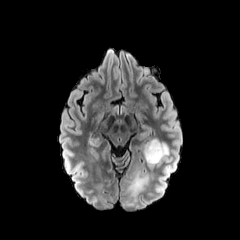
FLAIR MRI.
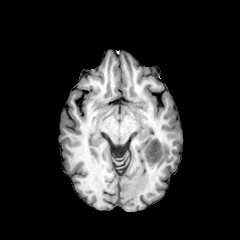
Same slice, T1-weighted magnetic resonance.
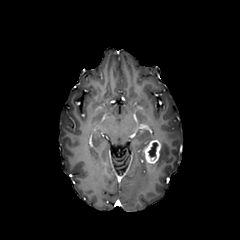
Post-contrast T1-weighted MRI of the same slice.
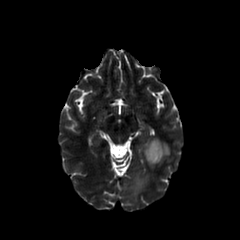
T2-weighted magnetic resonance of the same slice.
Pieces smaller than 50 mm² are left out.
necrotic tumor core: <bbox>148, 142, 157, 157</bbox>
enhancing tumor: <bbox>144, 139, 161, 163</bbox>
peritumoral edema: <bbox>147, 140, 169, 166</bbox>, <bbox>127, 173, 148, 201</bbox>